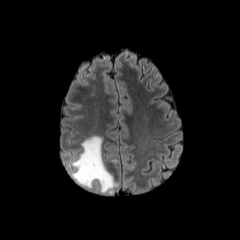
FLAIR MR.
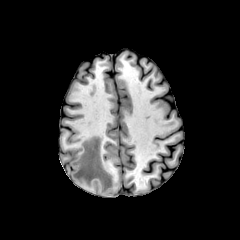
T1-weighted MR.
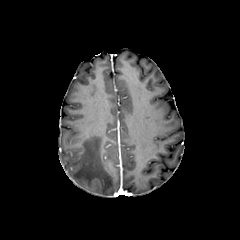
Post-contrast T1-weighted magnetic resonance.
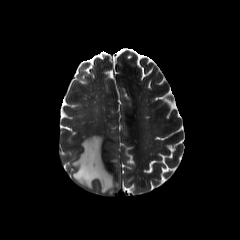
T2-weighted magnetic resonance.
Image size 240x240; Brain
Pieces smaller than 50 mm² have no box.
peritumoral edema: bbox(71, 136, 118, 194)